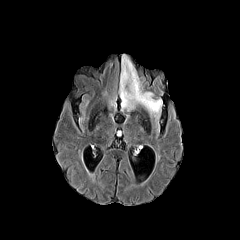
FLAIR magnetic resonance.
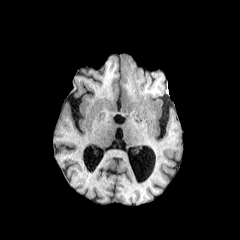
T1-weighted MRI.
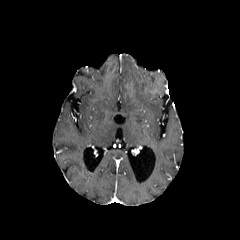
Post-contrast T1-weighted magnetic resonance.
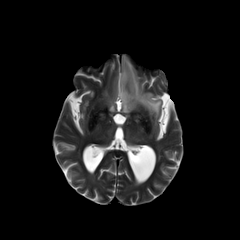
T2-weighted MR image.
Axial slice | Head
peritumoral edema: bounding box 119:55:162:121